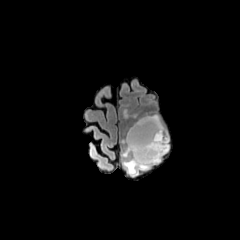
FLAIR MR image.
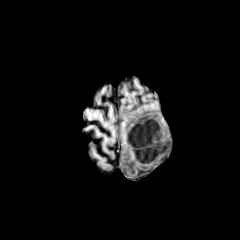
T1-weighted magnetic resonance.
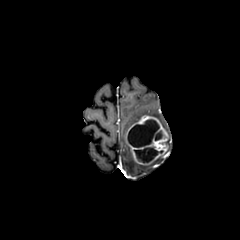
Same slice, post-contrast T1-weighted magnetic resonance.
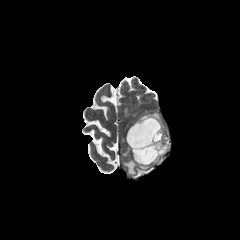
Same slice, T2-weighted MR image.
Brain
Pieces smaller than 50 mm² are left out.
* necrotic tumor core: 134,147,162,162; 127,119,162,147
* enhancing tumor: 125,115,169,165
* peritumoral edema: 122,145,161,176; 124,109,137,118